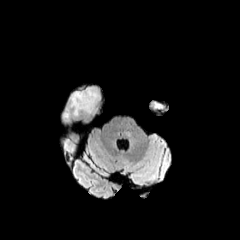
FLAIR MR.
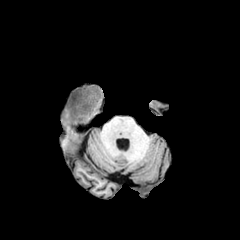
Same slice, T1-weighted MR.
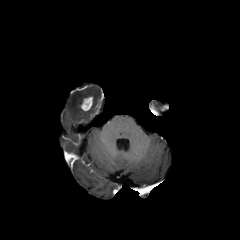
Same slice, post-contrast T1-weighted MRI.
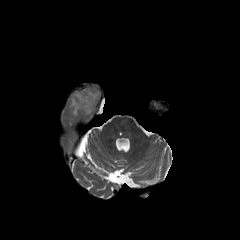
T2-weighted magnetic resonance.
Axial plane
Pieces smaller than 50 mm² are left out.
{"enhancing_tumor": ["region(80, 96, 92, 111)"], "peritumoral_edema": ["region(69, 86, 100, 115)"]}